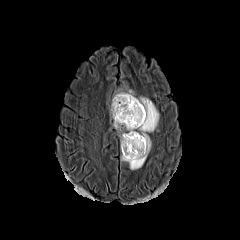
FLAIR magnetic resonance.
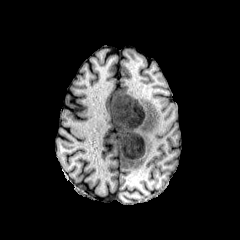
T1-weighted MR.
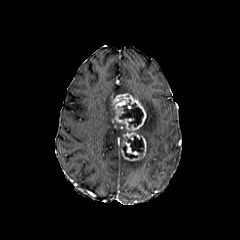
Post-contrast T1-weighted MR.
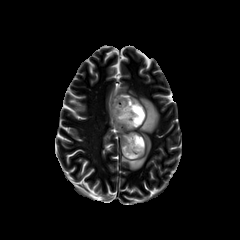
T2-weighted magnetic resonance.
Brain | Axial plane
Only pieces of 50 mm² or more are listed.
<segmentation>
  <necrotic_tumor_core>(126, 136, 143, 153), (122, 145, 137, 158), (119, 100, 143, 126)</necrotic_tumor_core>
  <enhancing_tumor>(112, 93, 146, 160)</enhancing_tumor>
  <peritumoral_edema>(121, 96, 159, 169), (116, 125, 125, 143)</peritumoral_edema>
</segmentation>